Slice 85/155; 240x240 px; Axial view
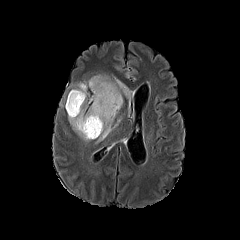
FLAIR MR.
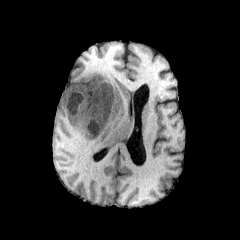
T1-weighted MRI of the same slice.
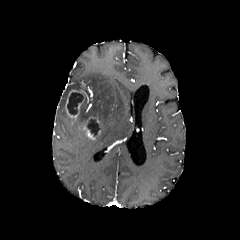
Same slice, post-contrast T1-weighted MRI.
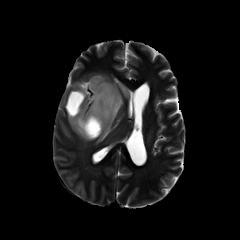
T2-weighted MR.
2 peritumoral edema regions are located at 75, 75, 131, 142; 68, 117, 91, 141. The enhancing tumor lies within 65, 83, 102, 139. 2 necrotic tumor core regions are bounded by 67, 92, 83, 114; 87, 119, 100, 136.